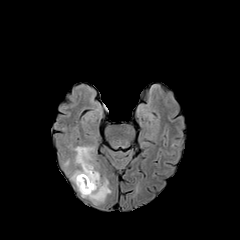
FLAIR MR.
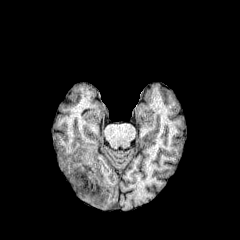
T1-weighted MRI.
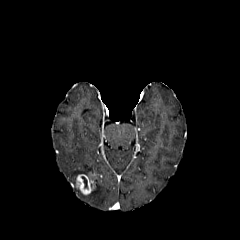
Post-contrast T1-weighted MR.
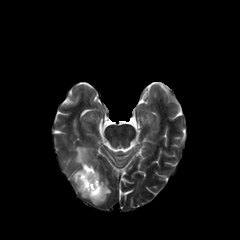
T2-weighted MRI.
Brain. 240x240 px.
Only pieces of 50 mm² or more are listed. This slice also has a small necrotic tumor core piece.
enhancing tumor: (76,172,97,194) | peritumoral edema: (71,146,110,204)